Axial slice. Slice 102 of 155. Brain.
FLAIR MR image.
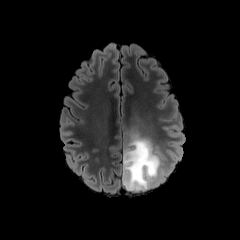
T1-weighted MR image.
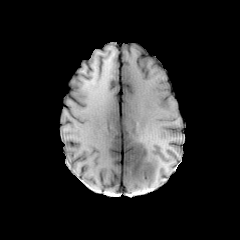
Post-contrast T1-weighted MR.
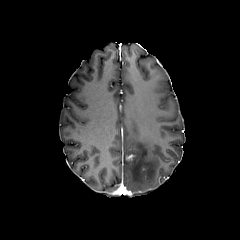
T2-weighted MR.
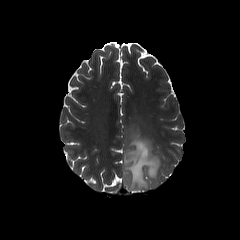
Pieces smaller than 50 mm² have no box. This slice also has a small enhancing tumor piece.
peritumoral edema = [x1=122, y1=133, x2=165, y2=192]